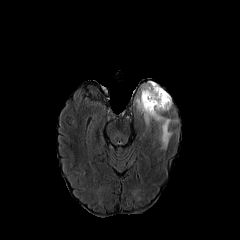
FLAIR MRI.
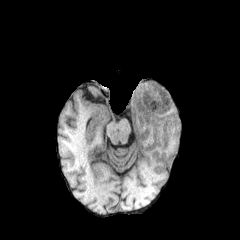
Same slice, T1-weighted magnetic resonance.
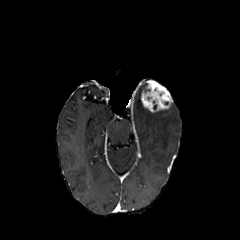
Post-contrast T1-weighted MR image of the same slice.
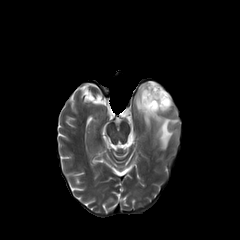
T2-weighted MR image of the same slice.
Brain
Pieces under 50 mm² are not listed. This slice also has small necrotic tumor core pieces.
The enhancing tumor appears at rect(141, 80, 172, 112). The largest peritumoral edema region appears at rect(135, 83, 178, 149).